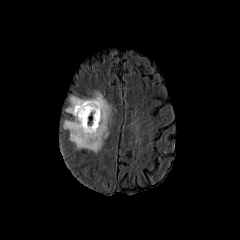
FLAIR magnetic resonance.
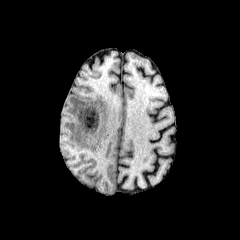
Same slice, T1-weighted MR image.
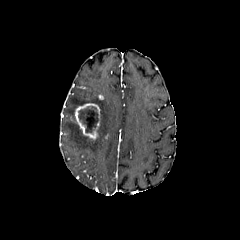
Post-contrast T1-weighted MR of the same slice.
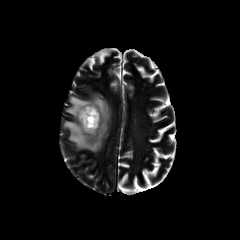
Same slice, T2-weighted MR.
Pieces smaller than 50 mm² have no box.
peritumoral_edema:
  - box(63, 91, 111, 152)
enhancing_tumor:
  - box(75, 103, 100, 140)
necrotic_tumor_core:
  - box(78, 106, 98, 132)